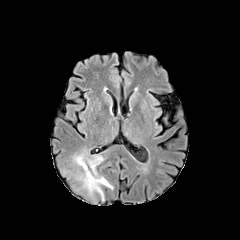
FLAIR MRI.
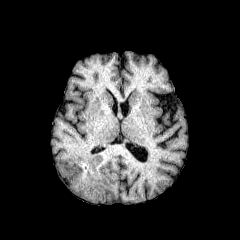
T1-weighted magnetic resonance of the same slice.
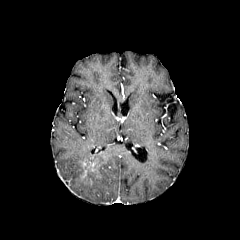
Post-contrast T1-weighted magnetic resonance.
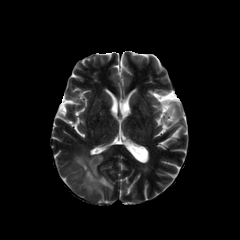
Same slice, T2-weighted MR.
Axial slice, 240x240
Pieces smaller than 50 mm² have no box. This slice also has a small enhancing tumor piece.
peritumoral edema: l=75, t=155, r=92, b=166; l=76, t=157, r=112, b=197